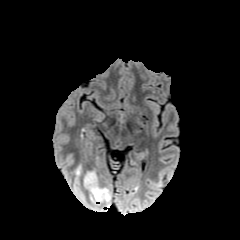
FLAIR MR.
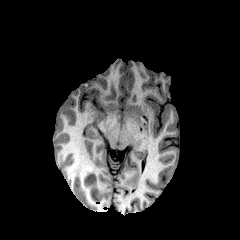
T1-weighted magnetic resonance of the same slice.
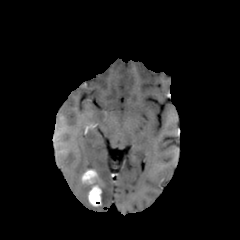
Post-contrast T1-weighted MRI.
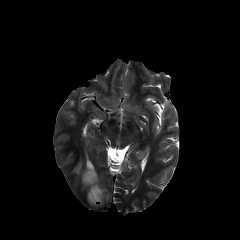
T2-weighted magnetic resonance.
Head
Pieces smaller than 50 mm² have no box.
peritumoral edema = 101, 188, 110, 201
enhancing tumor = 82, 170, 101, 205